FLAIR magnetic resonance.
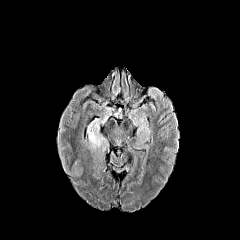
T1-weighted MR.
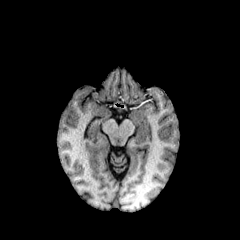
Post-contrast T1-weighted magnetic resonance.
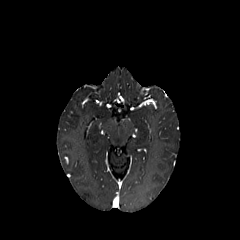
T2-weighted magnetic resonance.
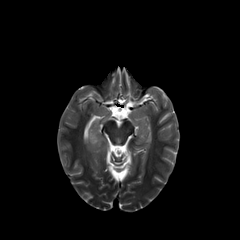
Head.
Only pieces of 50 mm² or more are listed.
The largest peritumoral edema region is at rect(88, 125, 105, 148).